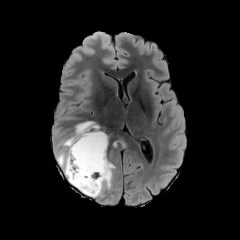
FLAIR MRI.
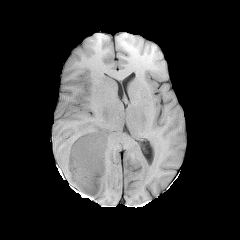
T1-weighted MRI of the same slice.
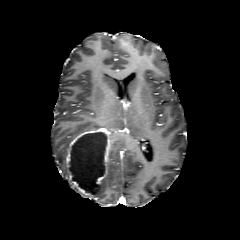
Same slice, post-contrast T1-weighted magnetic resonance.
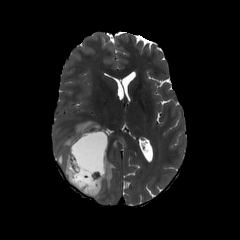
Same slice, T2-weighted MRI.
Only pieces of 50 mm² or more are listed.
2 enhancing tumor regions are located at [65, 130, 100, 197], [96, 138, 110, 183]. The 2 largest peritumoral edema regions appear at [94, 160, 115, 197], [56, 121, 99, 182]. The necrotic tumor core appears at [70, 132, 107, 195].